FLAIR MR.
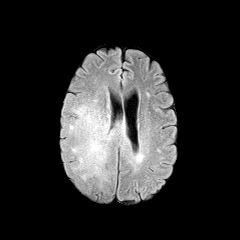
T1-weighted magnetic resonance.
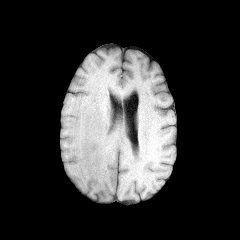
Post-contrast T1-weighted MRI.
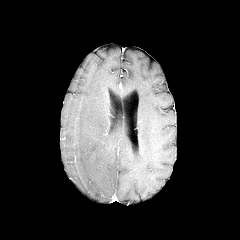
T2-weighted MR image.
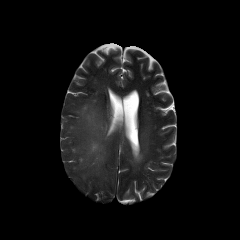
Axial plane
{"peritumoral_edema": ["(68, 99, 127, 180)"]}